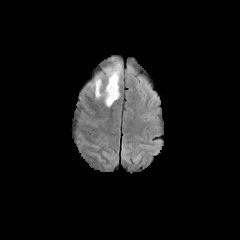
FLAIR MRI.
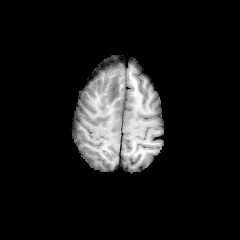
T1-weighted magnetic resonance.
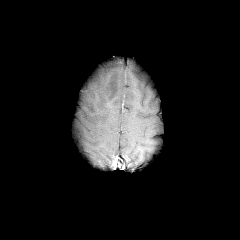
Post-contrast T1-weighted MR of the same slice.
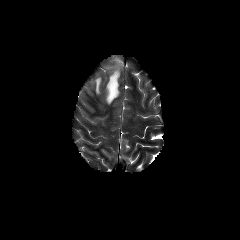
T2-weighted MR image of the same slice.
Image size 240x240
Segmented structures:
• peritumoral edema: (104, 63, 121, 107), (94, 77, 101, 98)